Image size 240x240 | Head | Axial plane | Slice index 56
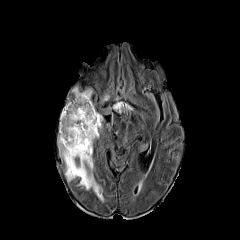
FLAIR magnetic resonance.
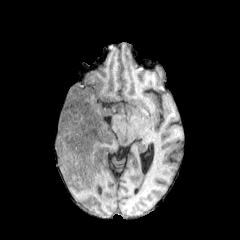
T1-weighted MR image.
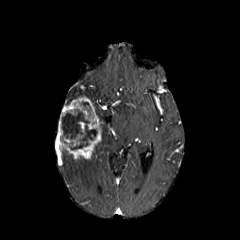
Post-contrast T1-weighted MRI.
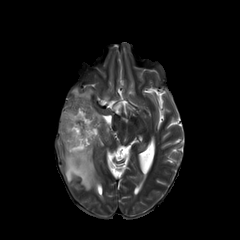
T2-weighted magnetic resonance of the same slice.
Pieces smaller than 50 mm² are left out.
enhancing tumor = 56 96 101 159
necrotic tumor core = 62 110 97 149
peritumoral edema = 59 150 102 197, 72 87 92 99